FLAIR MR.
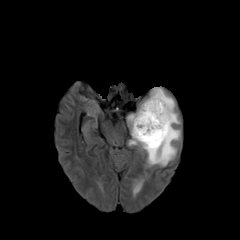
T1-weighted MR.
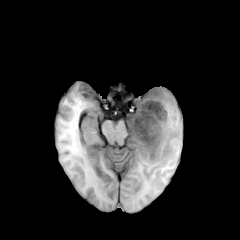
Post-contrast T1-weighted MR image.
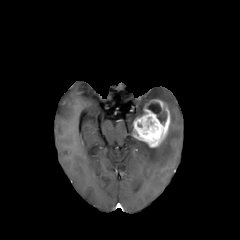
T2-weighted magnetic resonance.
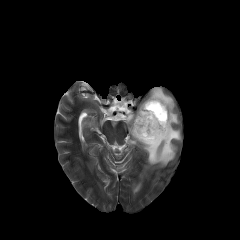
Head
The enhancing tumor is bounded by x1=131, y1=99, x2=170, y2=147. The necrotic tumor core is at x1=148, y1=103, x2=166, y2=122. 2 peritumoral edema regions are located at x1=133, y1=180, x2=142, y2=193; x1=127, y1=87, x2=180, y2=166.